Axial plane, Slice index 72, Head
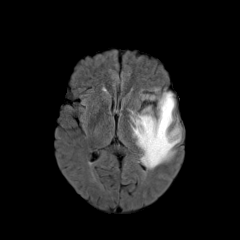
FLAIR MR.
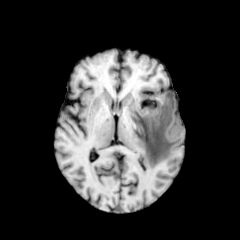
Same slice, T1-weighted MRI.
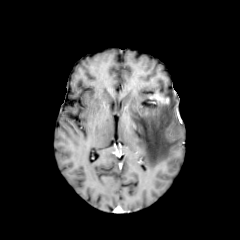
Same slice, post-contrast T1-weighted MR.
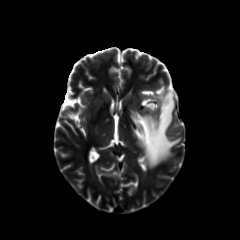
T2-weighted MR of the same slice.
The peritumoral edema is at left=131, top=92, right=180, bottom=166. The enhancing tumor is bounded by left=148, top=90, right=169, bottom=104.